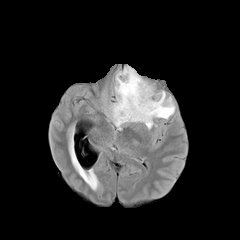
FLAIR MR image.
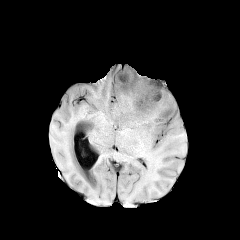
T1-weighted magnetic resonance.
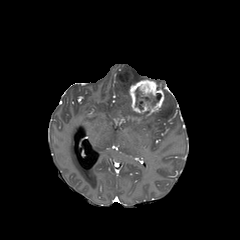
Same slice, post-contrast T1-weighted MR.
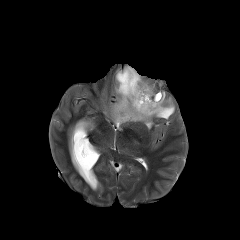
T2-weighted magnetic resonance.
Brain.
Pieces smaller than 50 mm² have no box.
The largest peritumoral edema region is bounded by bbox=[109, 66, 175, 129]. The 2 largest enhancing tumor regions appear at bbox=[129, 79, 164, 115]; bbox=[114, 115, 125, 124]. The necrotic tumor core is at bbox=[135, 88, 161, 109].